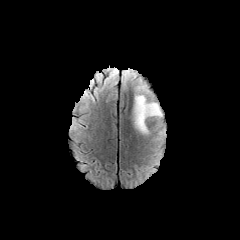
FLAIR MRI.
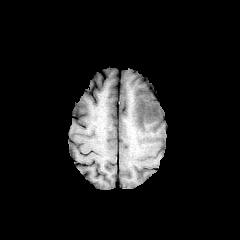
T1-weighted MR of the same slice.
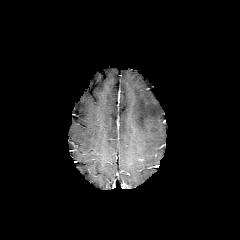
Post-contrast T1-weighted magnetic resonance of the same slice.
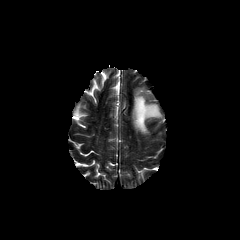
Same slice, T2-weighted magnetic resonance.
240x240
Segmented structures:
• peritumoral edema: 133:85:162:134